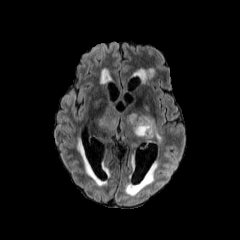
FLAIR MR.
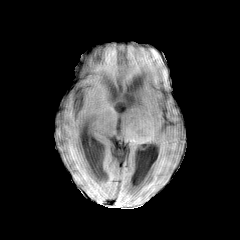
T1-weighted MRI.
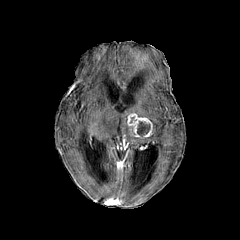
Post-contrast T1-weighted MR of the same slice.
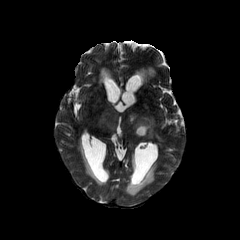
T2-weighted MRI.
Brain.
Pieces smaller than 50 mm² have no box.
Findings:
* enhancing tumor: region(127, 113, 153, 139)
* necrotic tumor core: region(137, 121, 149, 136)
* peritumoral edema: region(97, 104, 161, 141)